FLAIR MR.
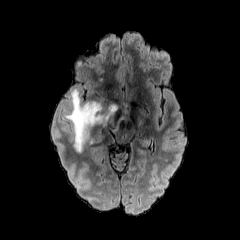
T1-weighted MR image.
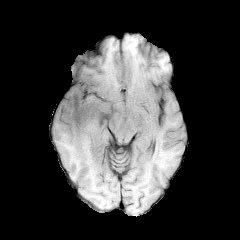
Post-contrast T1-weighted magnetic resonance.
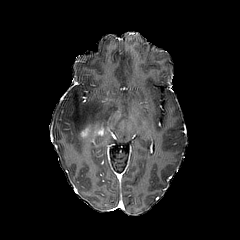
T2-weighted MRI.
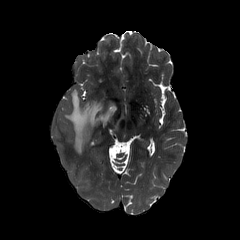
Brain. Axial slice.
<segmentation>
  <peritumoral_edema>l=64, t=89, r=121, b=152</peritumoral_edema>
  <enhancing_tumor>l=80, t=128, r=88, b=137</enhancing_tumor>
</segmentation>